FLAIR MRI.
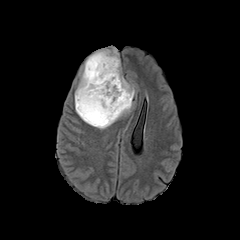
T1-weighted MR.
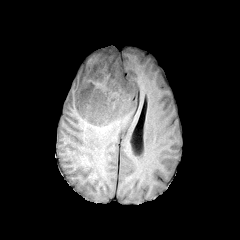
Post-contrast T1-weighted MR.
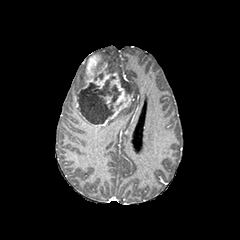
T2-weighted MRI.
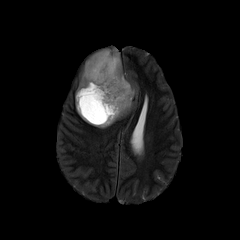
240x240; Axial view
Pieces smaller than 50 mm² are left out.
enhancing tumor: bounding box [75,55,132,126]
necrotic tumor core: bounding box [77,76,118,124]
peritumoral edema: bounding box [74,58,88,99], [91,47,134,95], [75,97,132,129]